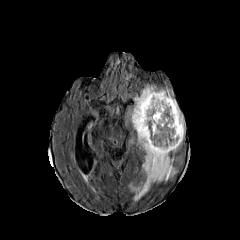
FLAIR MR image.
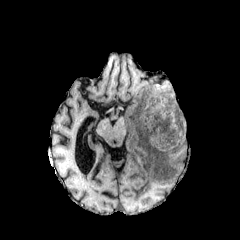
T1-weighted magnetic resonance.
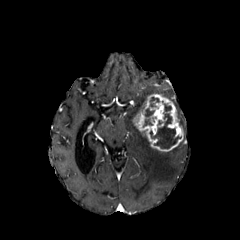
Post-contrast T1-weighted MR image.
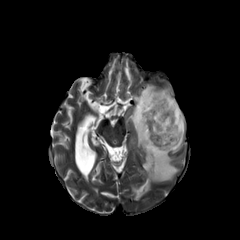
T2-weighted MR image.
Axial plane
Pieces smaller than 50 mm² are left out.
{
  "enhancing_tumor": [
    "x1=132, y1=94, x2=183, y2=151"
  ],
  "necrotic_tumor_core": [
    "x1=143, y1=118, x2=152, y2=127",
    "x1=150, y1=97, x2=159, y2=107",
    "x1=150, y1=101, x2=181, y2=148",
    "x1=145, y1=108, x2=154, y2=117"
  ],
  "peritumoral_edema": [
    "x1=129, y1=84, x2=184, y2=130",
    "x1=129, y1=124, x2=177, y2=201"
  ]
}